FLAIR magnetic resonance.
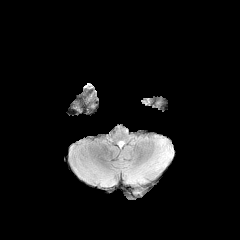
T1-weighted MR.
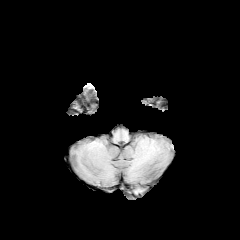
Post-contrast T1-weighted MRI.
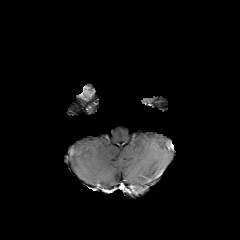
T2-weighted MRI.
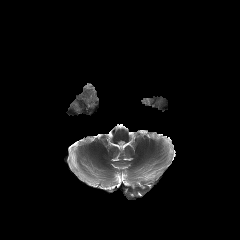
{"peritumoral_edema": ["box(143, 96, 166, 109)"]}